Head
FLAIR magnetic resonance.
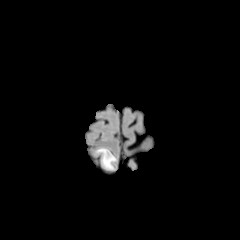
T1-weighted magnetic resonance.
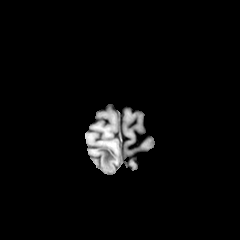
Post-contrast T1-weighted MR.
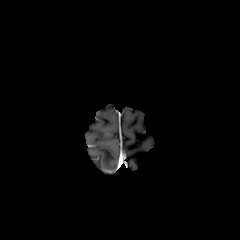
T2-weighted magnetic resonance.
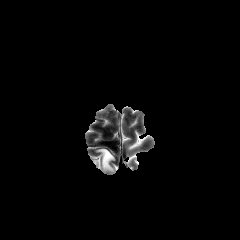
peritumoral edema at bbox(99, 149, 114, 168)